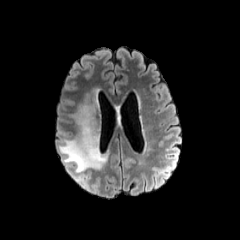
FLAIR MRI.
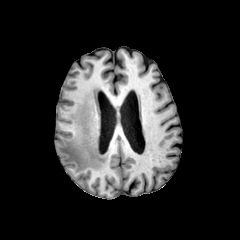
Same slice, T1-weighted MR image.
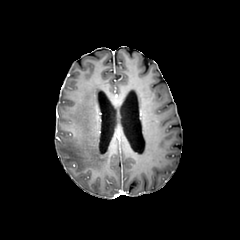
Same slice, post-contrast T1-weighted MR.
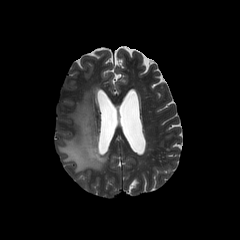
T2-weighted MR image.
Axial plane. Head.
<segmentation>
  <peritumoral_edema>59 101 107 172</peritumoral_edema>
</segmentation>